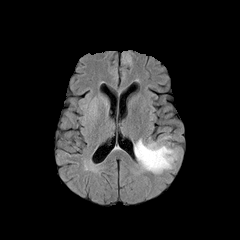
FLAIR MR.
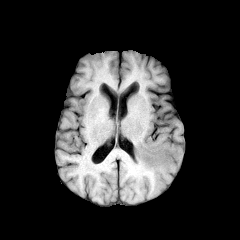
T1-weighted magnetic resonance.
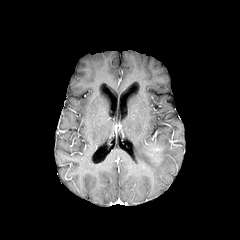
Post-contrast T1-weighted magnetic resonance.
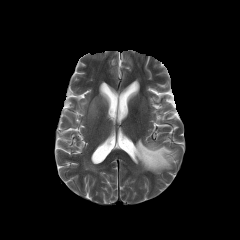
T2-weighted magnetic resonance.
Brain | 240x240 px | Axial view
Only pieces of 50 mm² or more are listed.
peritumoral edema: x1=126, y1=54, x2=132, y2=62; x1=134, y1=139, x2=177, y2=173; x1=81, y1=95, x2=98, y2=132 | enhancing tumor: x1=147, y1=147, x2=161, y2=161